FLAIR magnetic resonance.
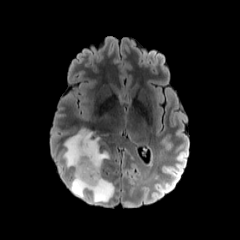
T1-weighted MR image.
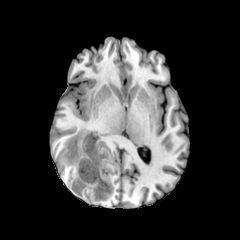
Post-contrast T1-weighted MR image.
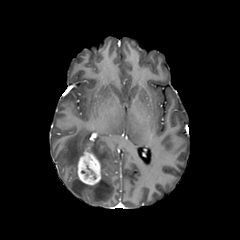
T2-weighted magnetic resonance.
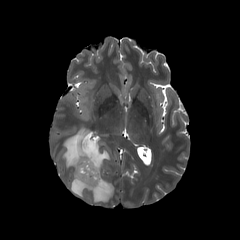
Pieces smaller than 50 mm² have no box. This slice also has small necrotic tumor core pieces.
Findings:
• enhancing tumor: [77, 144, 101, 185]
• peritumoral edema: [62, 129, 114, 203]